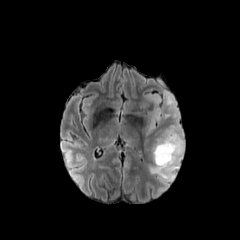
FLAIR MR image.
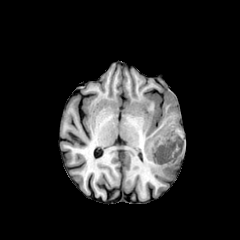
Same slice, T1-weighted MRI.
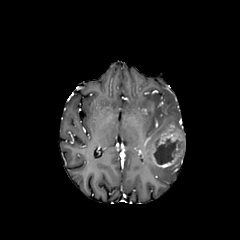
Post-contrast T1-weighted MR of the same slice.
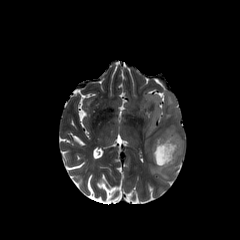
T2-weighted MRI.
Brain
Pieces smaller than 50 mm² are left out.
The enhancing tumor is at [151, 125, 183, 167]. The largest necrotic tumor core region appears at [154, 139, 178, 164]. The 2 largest peritumoral edema regions are located at [142, 90, 184, 149], [150, 155, 182, 180].